Axial view | Image width 240 mm | Brain
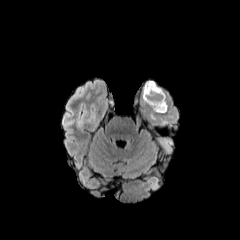
FLAIR MRI.
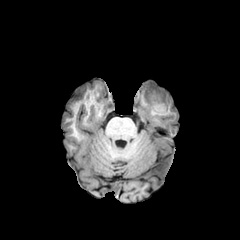
T1-weighted MR.
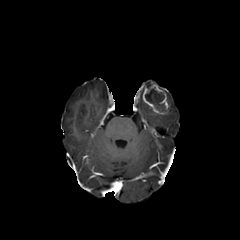
Post-contrast T1-weighted MR of the same slice.
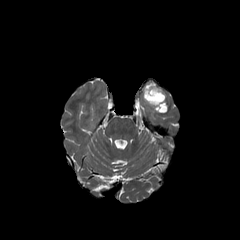
Same slice, T2-weighted MR image.
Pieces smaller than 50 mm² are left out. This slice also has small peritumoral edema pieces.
The enhancing tumor is at [x1=142, y1=81, x2=168, y2=113]. The largest necrotic tumor core region is bounded by [x1=145, y1=87, x2=164, y2=110].